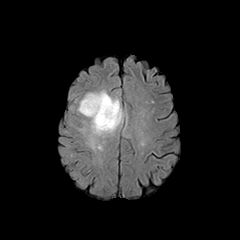
FLAIR MR image.
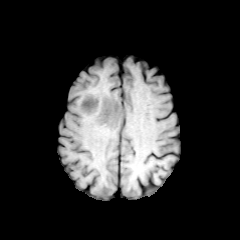
Same slice, T1-weighted MR.
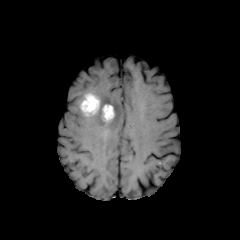
Post-contrast T1-weighted MR image of the same slice.
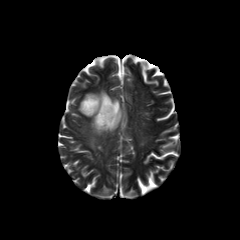
T2-weighted MR.
Head
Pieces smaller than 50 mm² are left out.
Findings:
* peritumoral edema: 85 89 124 149
* enhancing tumor: 80 93 100 116, 101 104 114 123